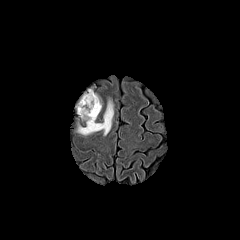
FLAIR magnetic resonance.
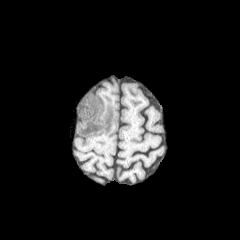
T1-weighted magnetic resonance of the same slice.
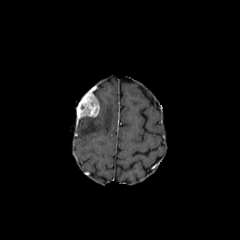
Post-contrast T1-weighted MR of the same slice.
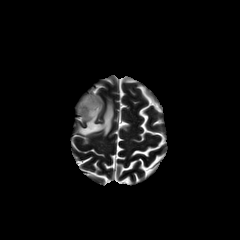
T2-weighted MR of the same slice.
Axial slice, Brain
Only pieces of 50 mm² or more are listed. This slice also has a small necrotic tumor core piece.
- peritumoral edema: [x1=77, y1=100, x2=113, y2=135]
- enhancing tumor: [x1=76, y1=90, x2=99, y2=118]